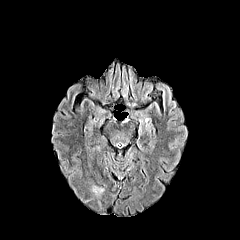
FLAIR MR image.
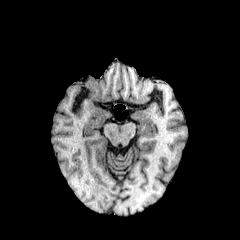
T1-weighted magnetic resonance.
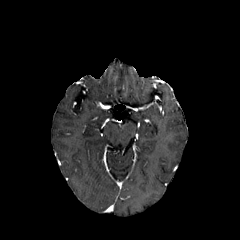
Post-contrast T1-weighted magnetic resonance of the same slice.
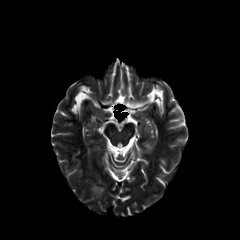
T2-weighted MR.
Axial plane
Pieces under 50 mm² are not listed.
The largest peritumoral edema region appears at (90,184,105,195).